Image covers 240 mm x 240 mm | Slice 93 of 155
FLAIR magnetic resonance.
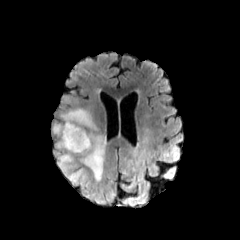
T1-weighted MRI.
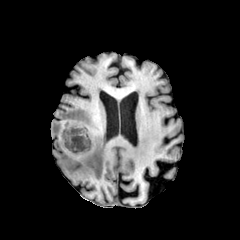
Post-contrast T1-weighted MR image.
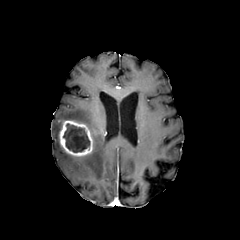
T2-weighted magnetic resonance.
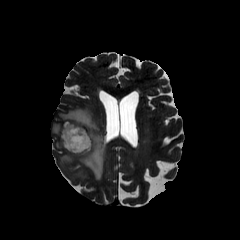
enhancing tumor: x1=59, y1=120, x2=93, y2=157 | necrotic tumor core: x1=63, y1=123, x2=90, y2=152 | peritumoral edema: x1=52, y1=107, x2=105, y2=203